Axial plane, Head
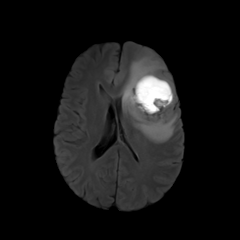
FLAIR magnetic resonance.
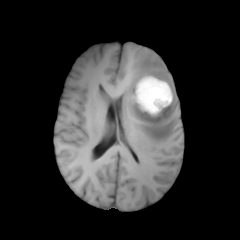
T1-weighted magnetic resonance.
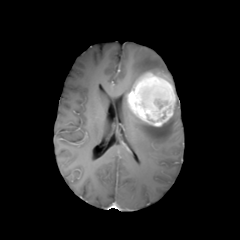
Post-contrast T1-weighted MRI of the same slice.
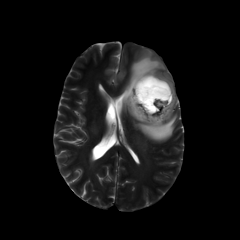
T2-weighted MRI.
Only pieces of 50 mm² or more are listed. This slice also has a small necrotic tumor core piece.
The enhancing tumor is at rect(127, 72, 175, 126). The largest peritumoral edema region lies within rect(121, 50, 177, 142).